FLAIR MRI.
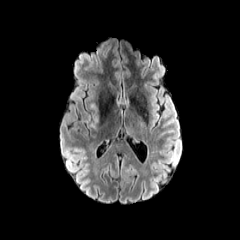
T1-weighted MRI.
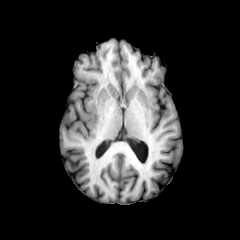
Post-contrast T1-weighted MR.
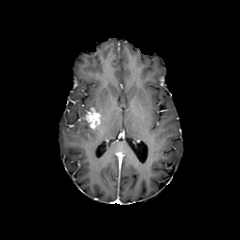
T2-weighted magnetic resonance.
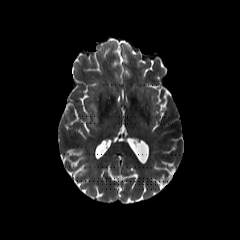
Axial plane | Brain
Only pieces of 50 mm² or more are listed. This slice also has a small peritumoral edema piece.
<segmentation>
  <enhancing_tumor>84, 107, 99, 129</enhancing_tumor>
</segmentation>